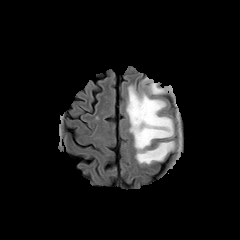
FLAIR MR.
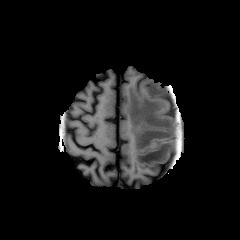
T1-weighted MRI of the same slice.
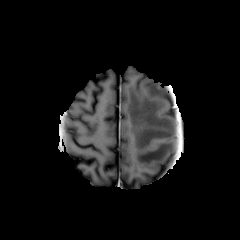
Post-contrast T1-weighted magnetic resonance of the same slice.
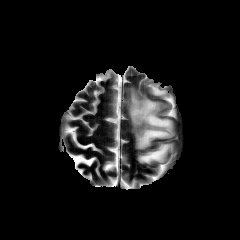
Same slice, T2-weighted magnetic resonance.
Axial plane
<segmentation>
  <peritumoral_edema>x1=126 y1=86 x2=174 y2=164, x1=144 y1=78 x2=166 y2=95</peritumoral_edema>
</segmentation>